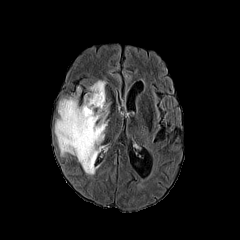
FLAIR MR.
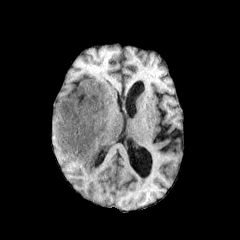
T1-weighted MR image.
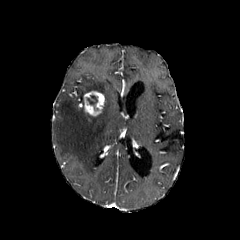
Post-contrast T1-weighted magnetic resonance.
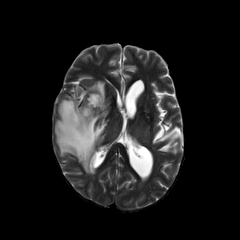
Same slice, T2-weighted magnetic resonance.
Brain
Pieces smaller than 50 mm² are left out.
{"enhancing_tumor": ["(84, 91, 104, 116)"], "necrotic_tumor_core": ["(87, 95, 97, 105)"], "peritumoral_edema": ["(55, 80, 109, 174)"]}